Axial view
FLAIR MRI.
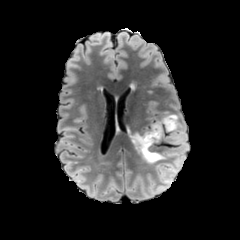
T1-weighted MRI.
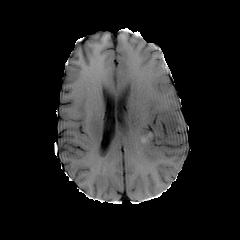
Post-contrast T1-weighted MR.
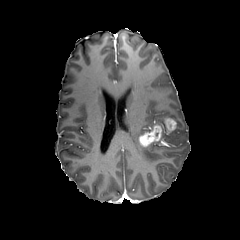
T2-weighted MR image.
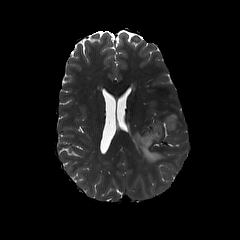
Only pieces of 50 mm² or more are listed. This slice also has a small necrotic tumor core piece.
peritumoral edema: (left=166, top=132, right=182, bottom=142), (left=132, top=133, right=166, bottom=163), (left=167, top=114, right=180, bottom=126)
enhancing tumor: (left=137, top=116, right=176, bottom=148)